Brain. 240x240 px.
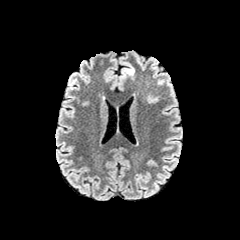
FLAIR MRI.
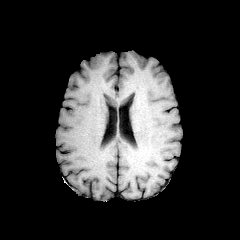
T1-weighted MRI of the same slice.
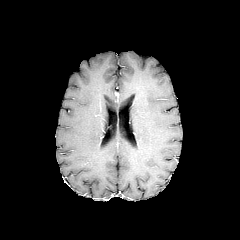
Post-contrast T1-weighted MR image.
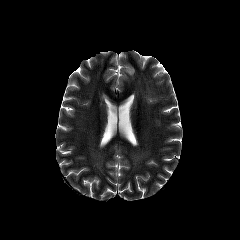
T2-weighted MRI.
{"peritumoral_edema": ["122,64,134,77"]}